Image covers 240 mm x 240 mm. Axial view. Brain. Slice 124/155.
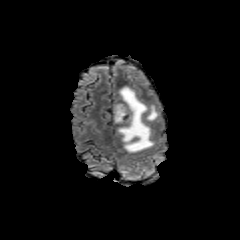
FLAIR MR.
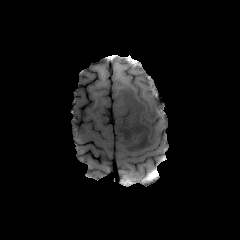
Same slice, T1-weighted MRI.
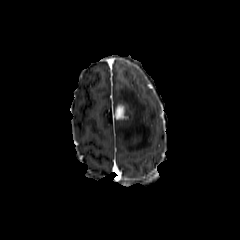
Post-contrast T1-weighted MRI of the same slice.
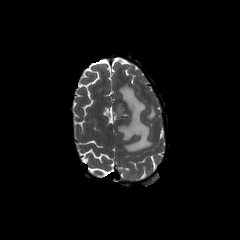
T2-weighted MR.
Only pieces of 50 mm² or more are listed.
peritumoral edema: 117,86,153,152; 146,105,157,120 | enhancing tumor: 113,104,128,121